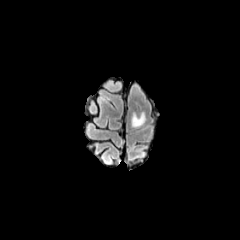
FLAIR MR image.
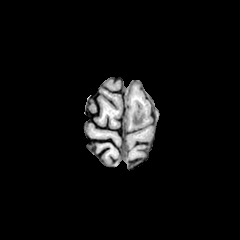
T1-weighted magnetic resonance.
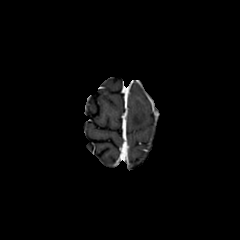
Post-contrast T1-weighted MR of the same slice.
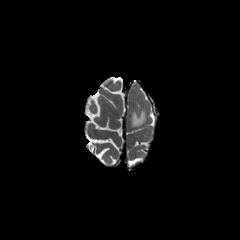
Same slice, T2-weighted MR image.
peritumoral_edema:
  - (131, 112, 145, 127)